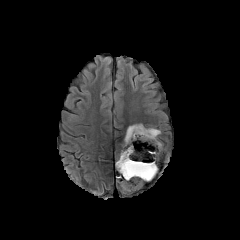
FLAIR MR image.
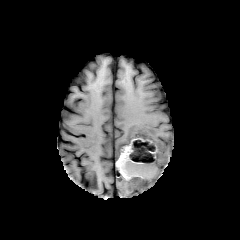
T1-weighted MR image of the same slice.
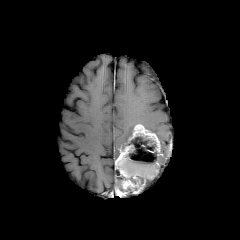
Post-contrast T1-weighted MR image of the same slice.
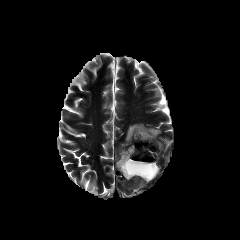
T2-weighted MR image.
240x240; Head
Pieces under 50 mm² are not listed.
necrotic tumor core: bbox=[123, 137, 157, 183] | peritumoral edema: bbox=[146, 128, 160, 136]; bbox=[124, 124, 136, 145] | enhancing tumor: bbox=[115, 145, 143, 189]; bbox=[128, 124, 160, 155]